Axial slice | 240x240 | Slice 96/155
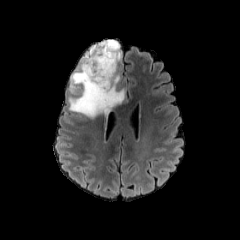
FLAIR magnetic resonance.
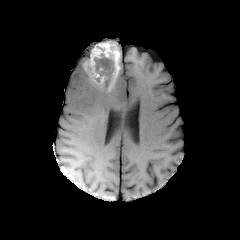
T1-weighted MR.
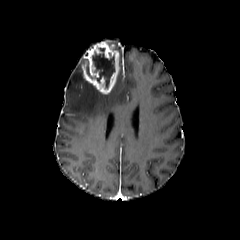
Post-contrast T1-weighted MRI.
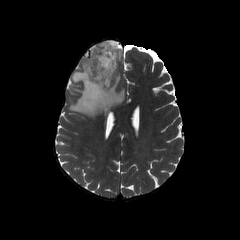
Same slice, T2-weighted magnetic resonance.
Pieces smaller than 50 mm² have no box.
• necrotic tumor core: x1=86 y1=60 x2=90 y2=76, x1=92 y1=46 x2=114 y2=87
• peritumoral edema: x1=69 y1=39 x2=125 y2=118
• enhancing tumor: x1=81 y1=41 x2=119 y2=94